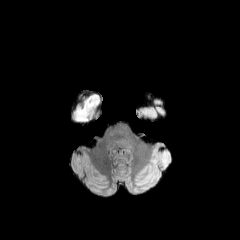
FLAIR MR.
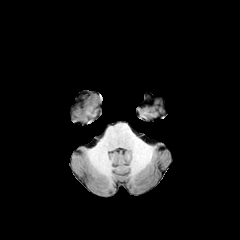
T1-weighted MR.
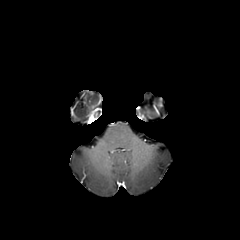
Post-contrast T1-weighted MR.
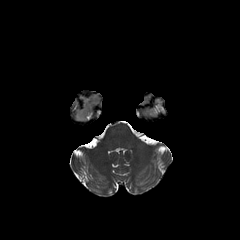
T2-weighted MRI.
Axial view; Brain
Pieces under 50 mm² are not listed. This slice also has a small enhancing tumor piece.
Segmented structures:
• peritumoral edema: box(75, 95, 99, 121)